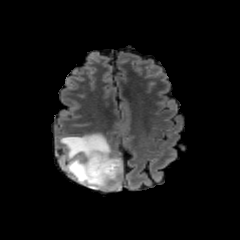
FLAIR magnetic resonance.
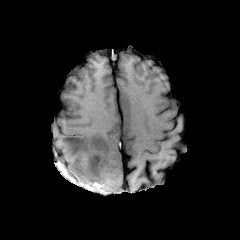
T1-weighted MR image.
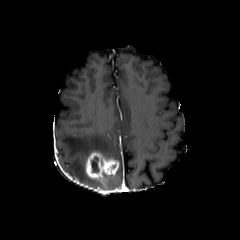
Post-contrast T1-weighted MR image.
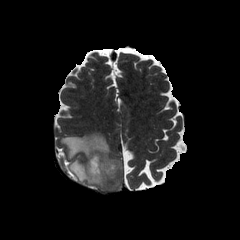
T2-weighted MR of the same slice.
Axial plane
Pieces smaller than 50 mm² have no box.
The enhancing tumor is bounded by x1=85, y1=151, x2=119, y2=182. The peritumoral edema is at x1=60, y1=133, x2=123, y2=189. The largest necrotic tumor core region appears at x1=91, y1=157, x2=99, y2=172.